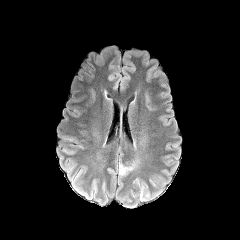
FLAIR magnetic resonance.
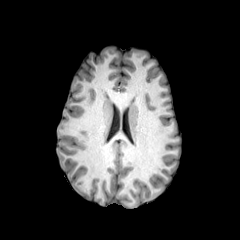
Same slice, T1-weighted MR image.
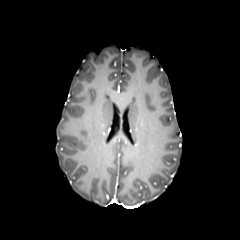
Post-contrast T1-weighted MR image.
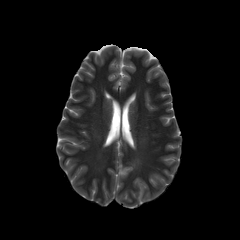
T2-weighted MRI.
Axial view
The peritumoral edema appears at rect(119, 164, 133, 175).